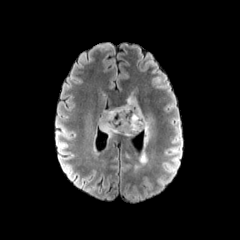
FLAIR magnetic resonance.
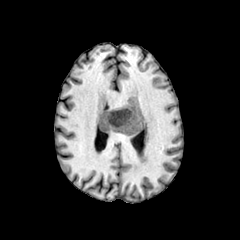
T1-weighted magnetic resonance.
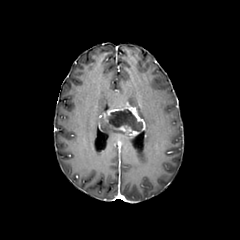
Same slice, post-contrast T1-weighted MR image.
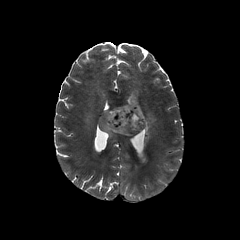
T2-weighted MR image.
240x240
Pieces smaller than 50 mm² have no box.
The 2 largest peritumoral edema regions are bounded by {"x1": 127, "y1": 96, "x2": 152, "y2": 141}, {"x1": 99, "y1": 117, "x2": 128, "y2": 137}. The enhancing tumor lies within {"x1": 103, "y1": 103, "x2": 145, "y2": 136}. The necrotic tumor core is located at {"x1": 107, "y1": 109, "x2": 142, "y2": 132}.